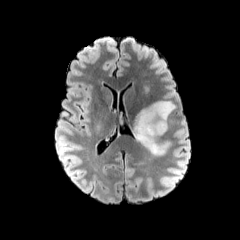
FLAIR magnetic resonance.
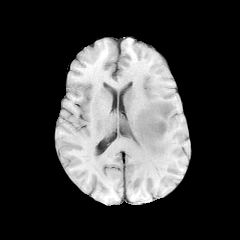
T1-weighted MR image of the same slice.
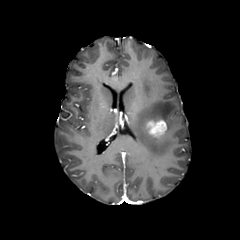
Post-contrast T1-weighted MR of the same slice.
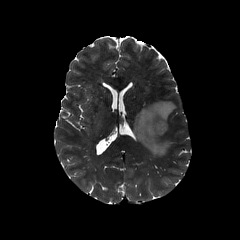
T2-weighted magnetic resonance.
Brain
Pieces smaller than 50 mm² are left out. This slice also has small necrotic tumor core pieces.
* enhancing tumor: rect(145, 120, 166, 137)
* peritumoral edema: rect(133, 101, 175, 155)